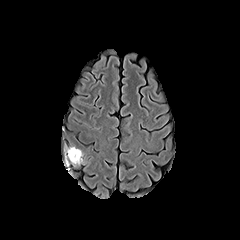
FLAIR magnetic resonance.
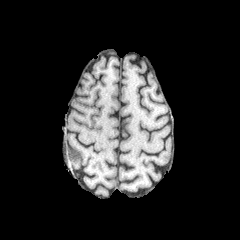
T1-weighted MR.
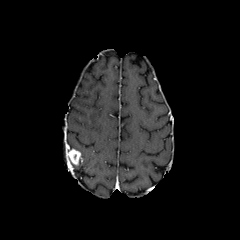
Post-contrast T1-weighted magnetic resonance.
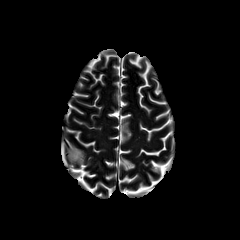
T2-weighted MR image of the same slice.
240x240, Axial slice
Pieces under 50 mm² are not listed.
peritumoral_edema:
  - left=70, top=146, right=83, bottom=164
enhancing_tumor:
  - left=68, top=148, right=80, bottom=164